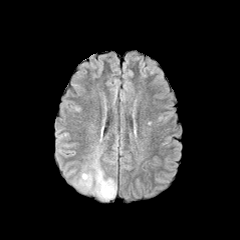
FLAIR MRI.
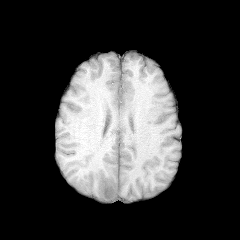
T1-weighted MR of the same slice.
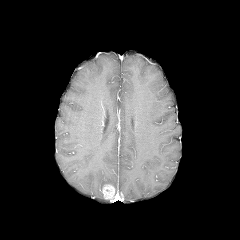
Post-contrast T1-weighted MR.
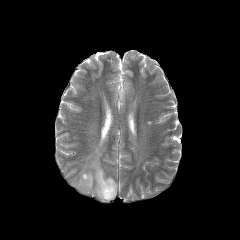
Same slice, T2-weighted MR image.
Axial plane
enhancing_tumor:
  - box=[102, 184, 115, 199]
peritumoral_edema:
  - box=[73, 149, 116, 201]